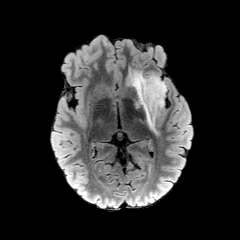
FLAIR MR.
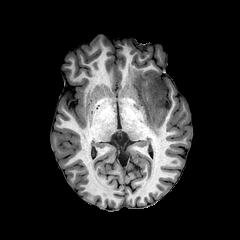
T1-weighted MR of the same slice.
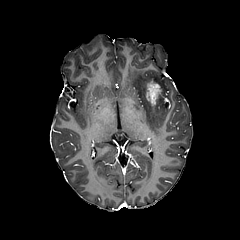
Same slice, post-contrast T1-weighted MR image.
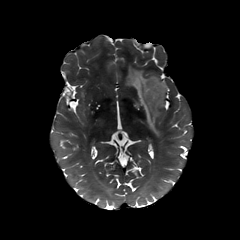
Same slice, T2-weighted MR image.
Head
<segmentation>
  <peritumoral_edema>left=126, top=68, right=166, bottom=132</peritumoral_edema>
  <enhancing_tumor>left=146, top=80, right=161, bottom=106</enhancing_tumor>
</segmentation>